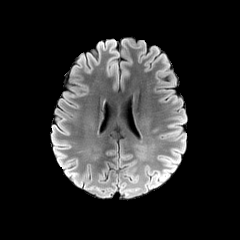
FLAIR magnetic resonance.
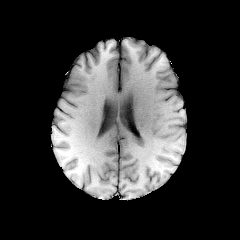
T1-weighted MRI.
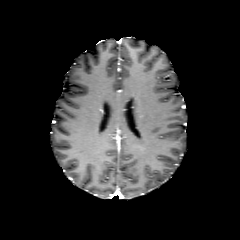
Same slice, post-contrast T1-weighted MR.
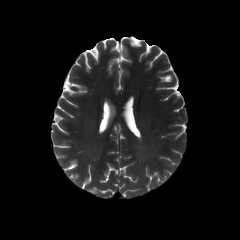
T2-weighted MR.
Brain, Axial view
The peritumoral edema is located at [157,156,178,182].